FLAIR MR.
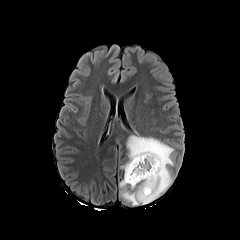
T1-weighted MRI.
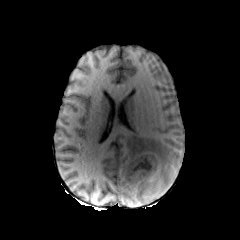
Post-contrast T1-weighted MR image.
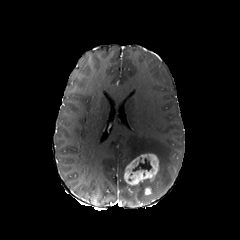
T2-weighted MR image.
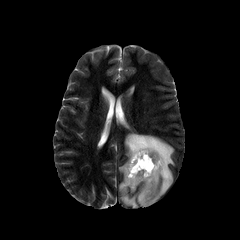
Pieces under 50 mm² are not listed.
<segmentation>
  <peritumoral_edema><box>119,134,174,204</box></peritumoral_edema>
  <necrotic_tumor_core><box>132,158,151,171</box></necrotic_tumor_core>
  <enhancing_tumor><box>124,153,159,185</box>, <box>144,187,152,199</box></enhancing_tumor>
</segmentation>